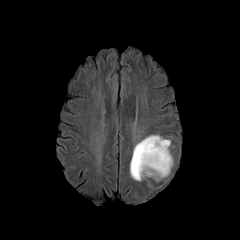
FLAIR magnetic resonance.
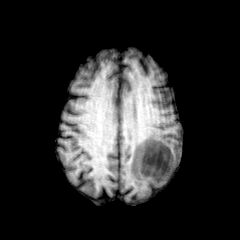
Same slice, T1-weighted MRI.
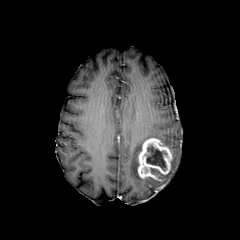
Post-contrast T1-weighted magnetic resonance.
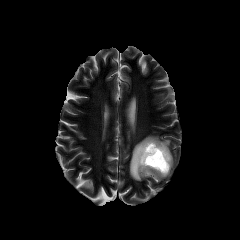
T2-weighted MR.
240x240 | Axial view
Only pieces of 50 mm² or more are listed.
{
  "enhancing_tumor": [
    "138, 138, 172, 180"
  ],
  "peritumoral_edema": [
    "130, 135, 170, 181"
  ],
  "necrotic_tumor_core": [
    "146, 145, 166, 170"
  ]
}